Axial slice; Head; Slice 57 of 155
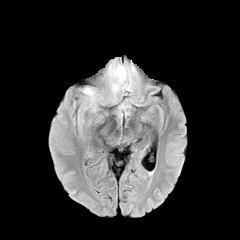
FLAIR MR image.
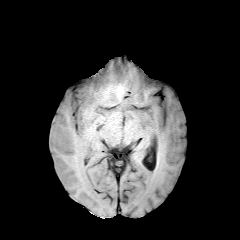
T1-weighted magnetic resonance.
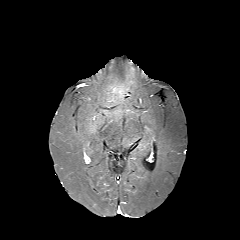
Post-contrast T1-weighted MR.
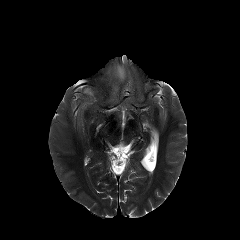
T2-weighted magnetic resonance of the same slice.
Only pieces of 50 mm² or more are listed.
The 2 largest peritumoral edema regions are located at {"x1": 108, "y1": 64, "x2": 127, "y2": 93}, {"x1": 83, "y1": 88, "x2": 95, "y2": 105}.